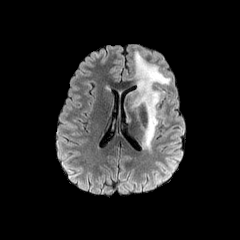
FLAIR MR image.
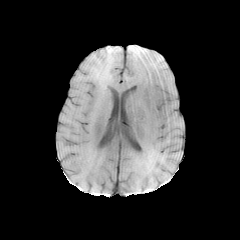
T1-weighted MRI of the same slice.
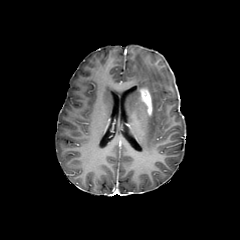
Same slice, post-contrast T1-weighted MR image.
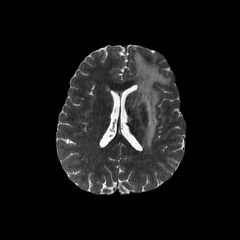
Same slice, T2-weighted MR.
Axial plane.
enhancing tumor: left=139, top=87, right=152, bottom=116 | peritumoral edema: left=124, top=51, right=170, bottom=152